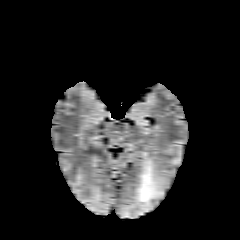
FLAIR MR.
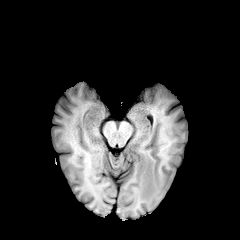
Same slice, T1-weighted MRI.
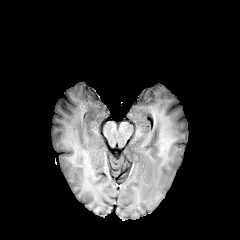
Post-contrast T1-weighted MRI of the same slice.
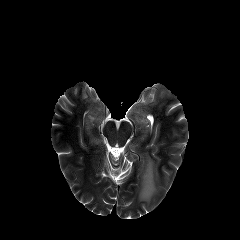
T2-weighted MRI of the same slice.
240x240 | Axial view
peritumoral edema: bounding box (left=136, top=154, right=162, bottom=209)